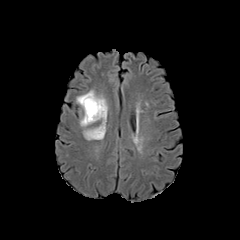
FLAIR magnetic resonance.
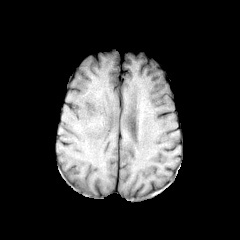
Same slice, T1-weighted MRI.
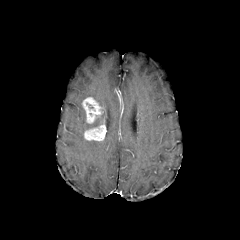
Post-contrast T1-weighted magnetic resonance of the same slice.
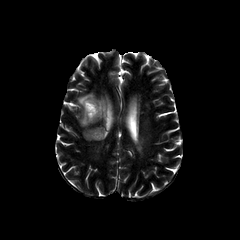
T2-weighted MRI.
Brain
Findings:
* peritumoral edema: {"x1": 76, "y1": 90, "x2": 108, "y2": 134}
* enhancing tumor: {"x1": 82, "y1": 97, "x2": 103, "y2": 123}, {"x1": 84, "y1": 124, "x2": 106, "y2": 140}
* necrotic tumor core: {"x1": 86, "y1": 103, "x2": 95, "y2": 116}